Slice 97/155; 240x240 px; Image width 240 mm, 1.00 mm slice spacing
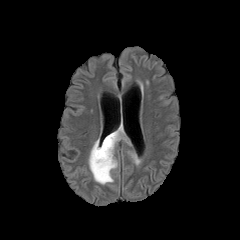
FLAIR MR image.
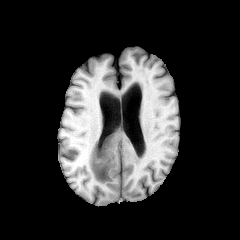
T1-weighted MR image of the same slice.
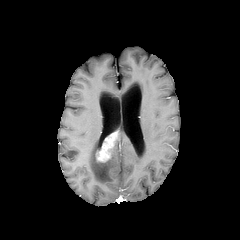
Same slice, post-contrast T1-weighted MR image.
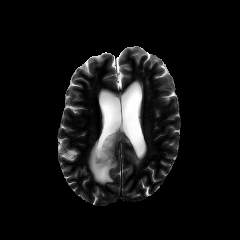
T2-weighted MR image of the same slice.
{
  "enhancing_tumor": [
    "box=[96, 131, 118, 162]"
  ],
  "peritumoral_edema": [
    "box=[89, 123, 131, 184]",
    "box=[128, 151, 140, 165]"
  ]
}